Axial view, Slice 91/155, Head, Image width 240 mm, 1.00 mm slice spacing
FLAIR MR image.
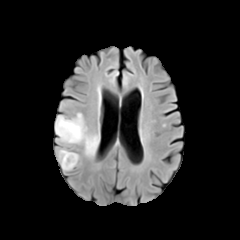
T1-weighted MRI.
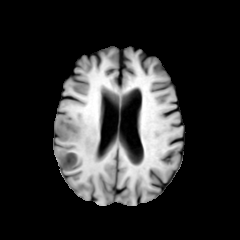
Post-contrast T1-weighted MR.
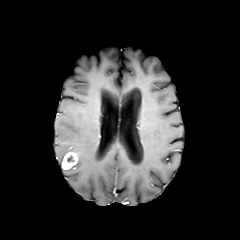
T2-weighted MRI.
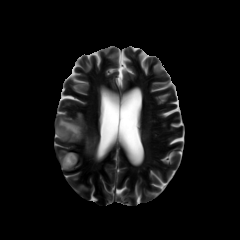
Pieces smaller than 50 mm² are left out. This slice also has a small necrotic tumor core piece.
peritumoral edema = [55, 113, 97, 156], [58, 149, 68, 166]
enhancing tumor = [62, 152, 77, 169]